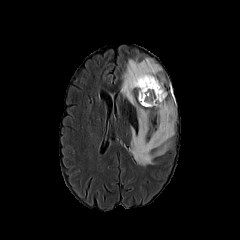
FLAIR magnetic resonance.
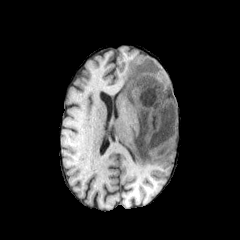
Same slice, T1-weighted MR.
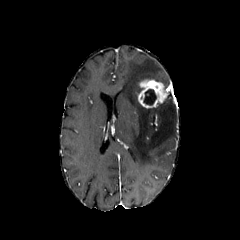
Post-contrast T1-weighted magnetic resonance.
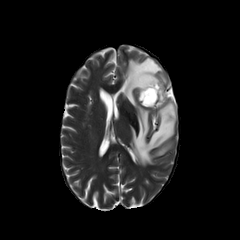
Same slice, T2-weighted magnetic resonance.
Brain.
peritumoral edema — 121, 57, 176, 165
necrotic tumor core — 144, 89, 156, 105
enhancing tumor — 138, 79, 167, 108